Slice index 67. Image size 240x240. Axial view. Image width 240 mm.
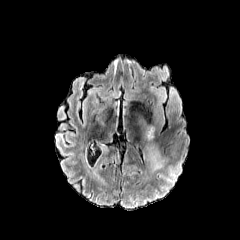
FLAIR MR image.
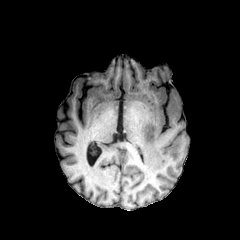
Same slice, T1-weighted MR image.
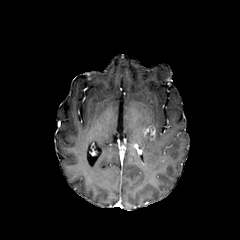
Post-contrast T1-weighted MR of the same slice.
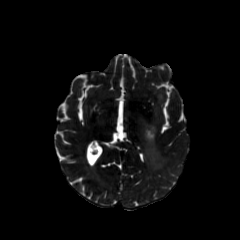
T2-weighted magnetic resonance.
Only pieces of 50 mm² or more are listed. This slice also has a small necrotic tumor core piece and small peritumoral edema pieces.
The enhancing tumor is at 142,125,155,141.